FLAIR MR image.
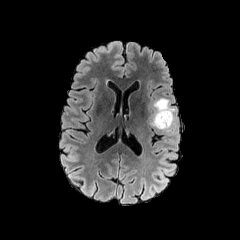
T1-weighted magnetic resonance.
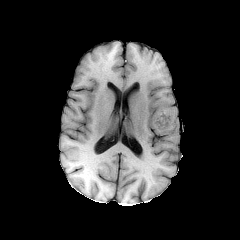
Post-contrast T1-weighted MR image.
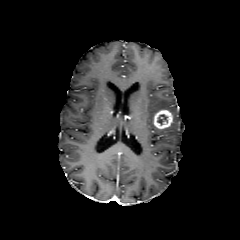
T2-weighted magnetic resonance.
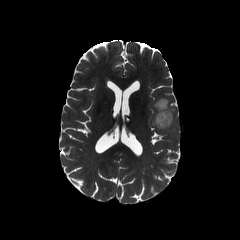
Brain; 240x240 px
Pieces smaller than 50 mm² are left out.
Annotated regions:
• enhancing tumor: 153,109,172,128
• necrotic tumor core: 157,114,167,124
• peritumoral edema: 153,98,176,132